Image width 240 mm, 1.00 mm slice spacing, Brain
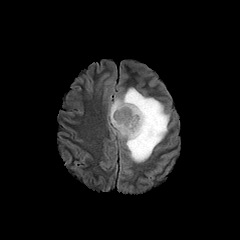
FLAIR MR.
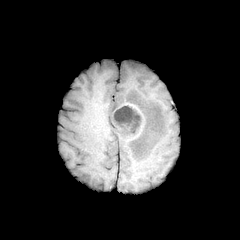
T1-weighted MR.
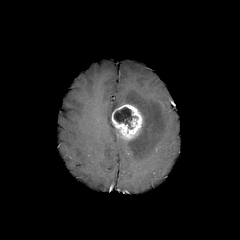
Same slice, post-contrast T1-weighted MR.
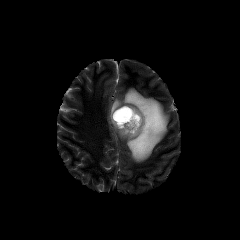
T2-weighted magnetic resonance.
Annotated regions:
- necrotic tumor core: l=114, t=107, r=136, b=126
- enhancing tumor: l=111, t=104, r=143, b=140
- peritumoral edema: l=108, t=87, r=169, b=162